FLAIR MRI.
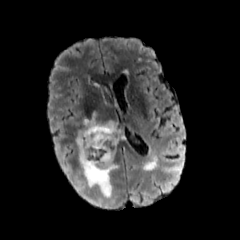
T1-weighted magnetic resonance.
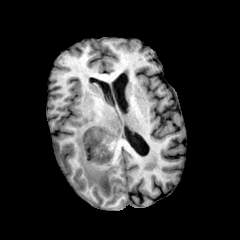
Post-contrast T1-weighted magnetic resonance.
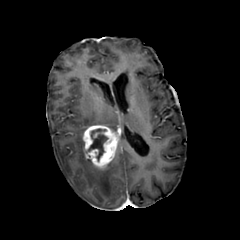
T2-weighted MR image.
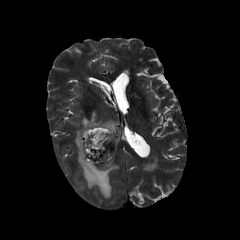
Head
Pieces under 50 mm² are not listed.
peritumoral_edema:
  - <box>76,131,118,198</box>
  - <box>83,112,117,131</box>
enhancing_tumor:
  - <box>82,125,120,169</box>
necrotic_tumor_core:
  - <box>88,129,107,160</box>